Axial view | Brain
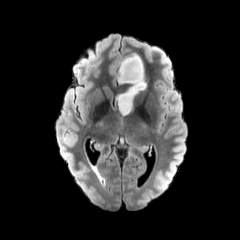
FLAIR MR image.
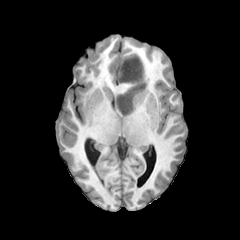
T1-weighted MR.
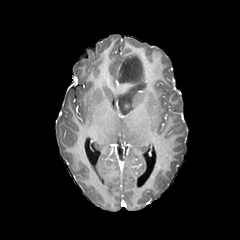
Post-contrast T1-weighted MR image of the same slice.
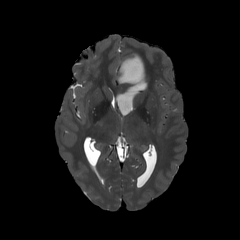
T2-weighted MRI.
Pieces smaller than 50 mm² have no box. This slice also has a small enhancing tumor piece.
peritumoral edema: 116, 54, 146, 114